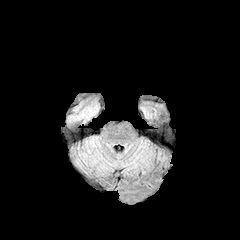
FLAIR MR.
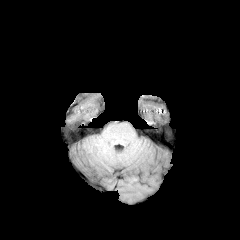
Same slice, T1-weighted MR.
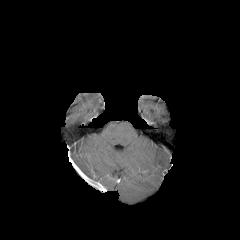
Post-contrast T1-weighted MRI of the same slice.
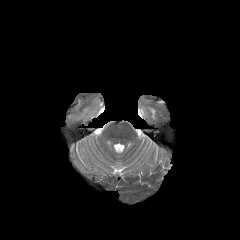
Same slice, T2-weighted MR image.
Head
peritumoral edema = (left=67, top=94, right=99, bottom=122)